FLAIR MRI.
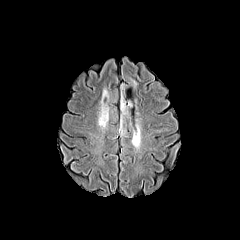
T1-weighted MRI.
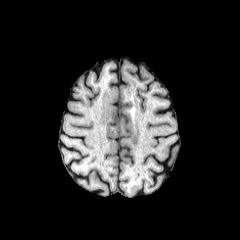
Post-contrast T1-weighted MRI.
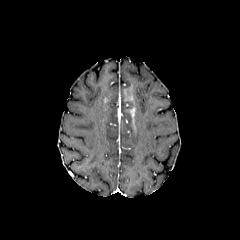
T2-weighted MR image.
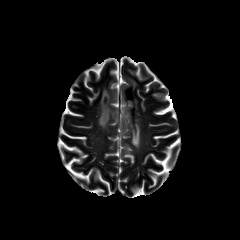
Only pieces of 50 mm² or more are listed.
peritumoral_edema:
  - {"x1": 112, "y1": 110, "x2": 118, "y2": 121}
  - {"x1": 98, "y1": 89, "x2": 117, "y2": 131}
  - {"x1": 120, "y1": 74, "x2": 141, "y2": 150}